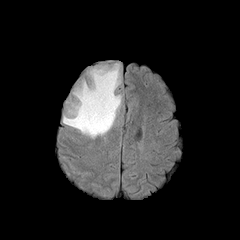
FLAIR magnetic resonance.
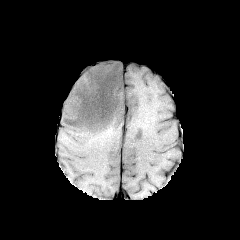
T1-weighted MR image of the same slice.
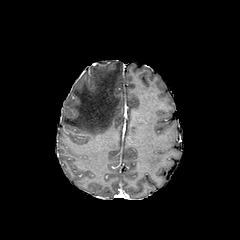
Post-contrast T1-weighted MR of the same slice.
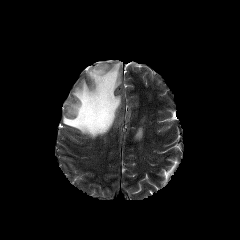
T2-weighted MRI of the same slice.
Axial plane | Brain
peritumoral edema at bbox=[63, 63, 121, 138]